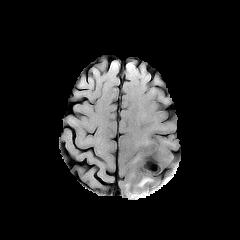
FLAIR MR.
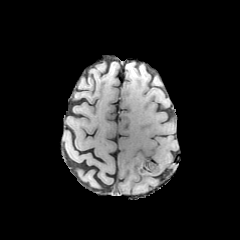
T1-weighted magnetic resonance of the same slice.
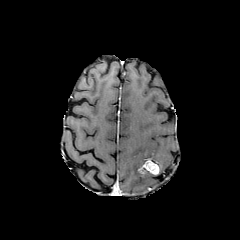
Post-contrast T1-weighted MR image.
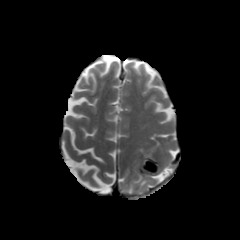
T2-weighted MR.
Axial view.
The peritumoral edema lies within x1=139, y1=178, x2=150, y2=186. The enhancing tumor is bounded by x1=145, y1=162, x2=159, y2=175.